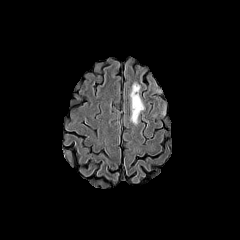
FLAIR magnetic resonance.
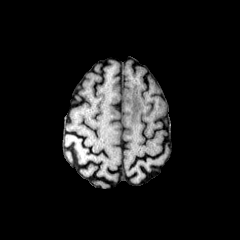
T1-weighted MRI.
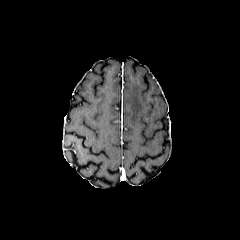
Same slice, post-contrast T1-weighted MR image.
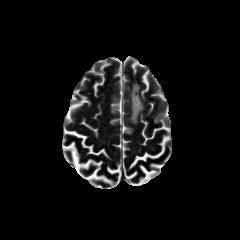
T2-weighted MRI.
Brain.
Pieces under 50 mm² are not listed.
<segmentation>
  <peritumoral_edema>(x1=130, y1=83, x2=144, y2=124)</peritumoral_edema>
</segmentation>